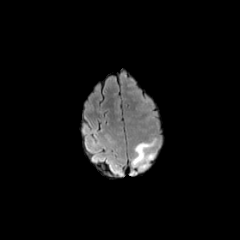
FLAIR MR image.
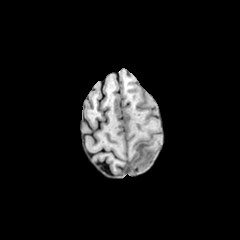
Same slice, T1-weighted MRI.
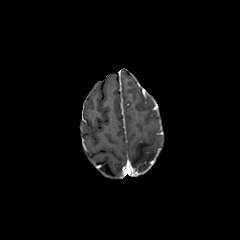
Post-contrast T1-weighted MR of the same slice.
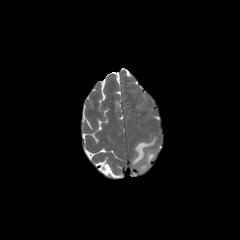
T2-weighted magnetic resonance.
Head
Segmented structures:
* peritumoral edema: (132,138,156,170)